Slice 47/155. 240x240. Axial view. Head.
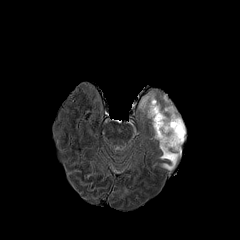
FLAIR magnetic resonance.
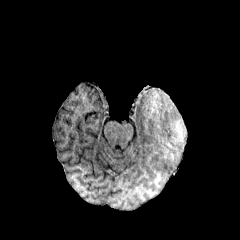
T1-weighted magnetic resonance of the same slice.
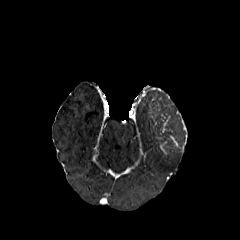
Post-contrast T1-weighted MRI.
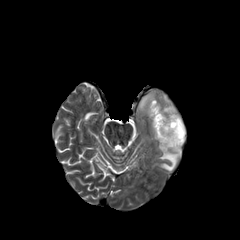
T2-weighted magnetic resonance.
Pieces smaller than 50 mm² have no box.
Findings:
* enhancing tumor: bbox(160, 141, 167, 154)
* necrotic tumor core: bbox(150, 103, 184, 151)
* peritumoral edema: bbox(140, 96, 147, 107); bbox(160, 147, 181, 170); bbox(151, 95, 159, 108); bbox(161, 105, 175, 113)